FLAIR MRI.
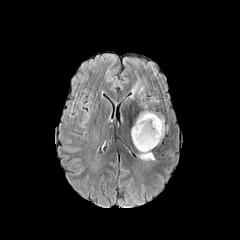
T1-weighted magnetic resonance.
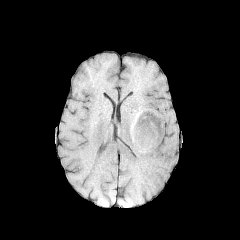
Post-contrast T1-weighted MRI.
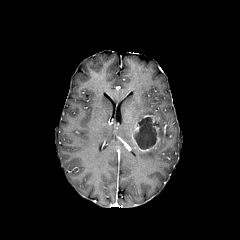
T2-weighted MRI.
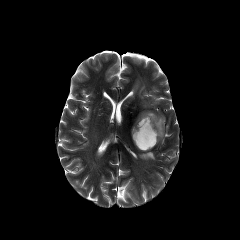
Axial plane
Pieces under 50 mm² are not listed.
enhancing tumor: region(132, 115, 161, 151) | necrotic tumor core: region(134, 117, 159, 149) | peritumoral edema: region(136, 111, 164, 140); region(139, 150, 155, 160)